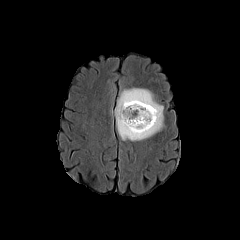
FLAIR MRI.
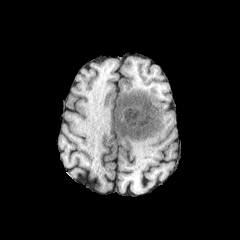
T1-weighted MR image.
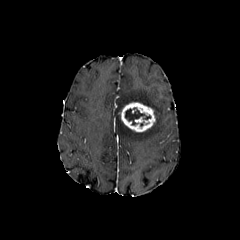
Post-contrast T1-weighted magnetic resonance.
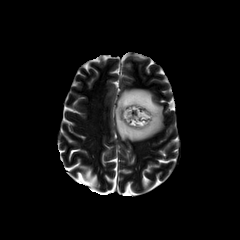
T2-weighted MR image.
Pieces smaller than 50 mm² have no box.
The peritumoral edema is bounded by bbox=[115, 88, 163, 141]. The largest necrotic tumor core region is at bbox=[125, 108, 150, 125]. The enhancing tumor appears at bbox=[119, 102, 155, 132].